FLAIR MR image.
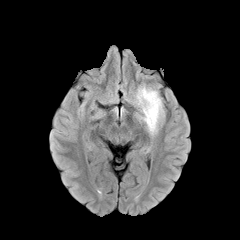
T1-weighted MR.
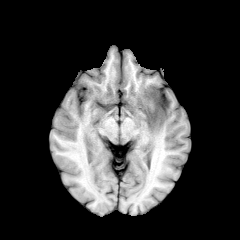
Post-contrast T1-weighted MR image.
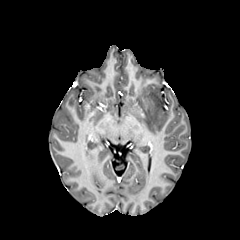
T2-weighted MR image.
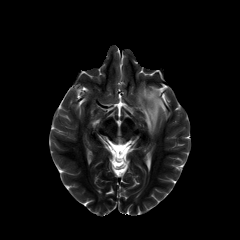
- peritumoral edema: x1=136 y1=85 x2=164 y2=135